FLAIR MR.
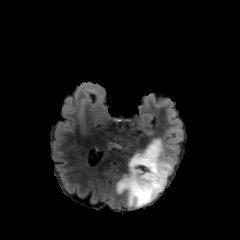
T1-weighted magnetic resonance.
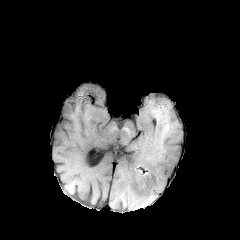
Post-contrast T1-weighted MRI.
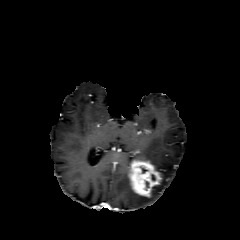
T2-weighted magnetic resonance.
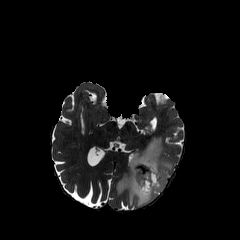
Image size 240x240.
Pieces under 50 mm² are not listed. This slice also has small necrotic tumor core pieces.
The largest peritumoral edema region is located at 116, 138, 173, 207. The enhancing tumor is located at 128, 159, 162, 197.